Slice 72 of 155 | Brain
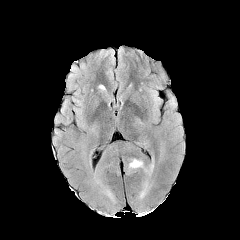
FLAIR MR image.
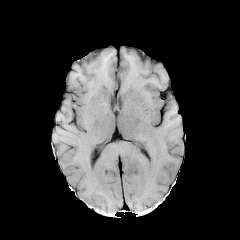
T1-weighted MR of the same slice.
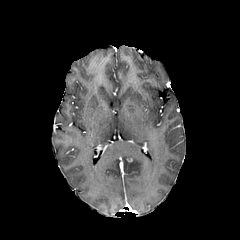
Post-contrast T1-weighted MRI.
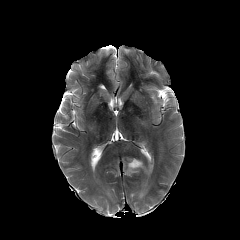
T2-weighted MRI.
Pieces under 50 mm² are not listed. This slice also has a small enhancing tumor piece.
peritumoral edema: (left=144, top=163, right=153, bottom=174), (left=127, top=158, right=143, bottom=173)